Slice index 44. Axial plane.
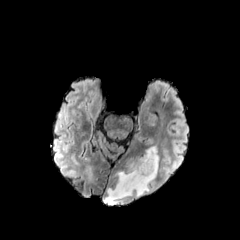
FLAIR MRI.
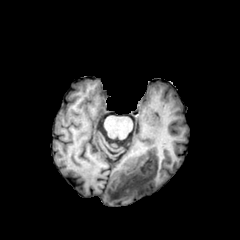
T1-weighted MRI of the same slice.
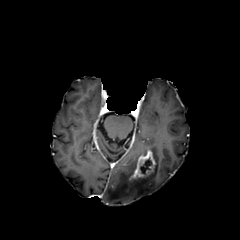
Post-contrast T1-weighted MR.
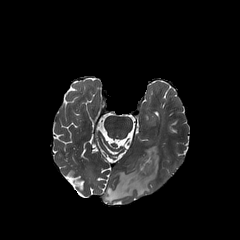
T2-weighted MR.
The peritumoral edema appears at box(103, 146, 159, 204). The enhancing tumor is bounded by box(129, 150, 155, 181). The necrotic tumor core lies within box(140, 158, 151, 173).